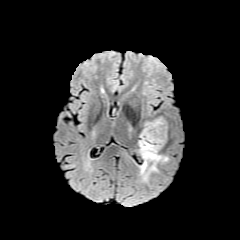
FLAIR MR image.
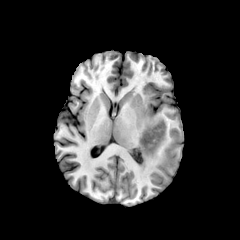
T1-weighted magnetic resonance of the same slice.
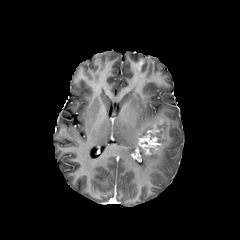
Post-contrast T1-weighted MR.
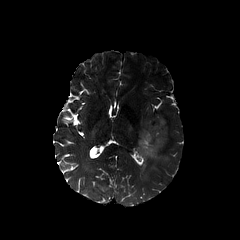
T2-weighted MRI.
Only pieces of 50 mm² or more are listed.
<segmentation>
  <enhancing_tumor>bbox=[138, 119, 163, 154]</enhancing_tumor>
  <necrotic_tumor_core>bbox=[156, 124, 161, 142]</necrotic_tumor_core>
  <peritumoral_edema>bbox=[139, 147, 169, 179]; bbox=[140, 122, 152, 137]</peritumoral_edema>
</segmentation>